Slice index 63, 240x240, Axial view
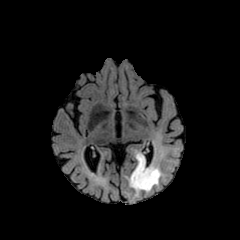
FLAIR MR image.
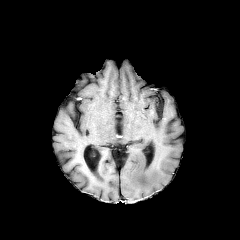
Same slice, T1-weighted MR.
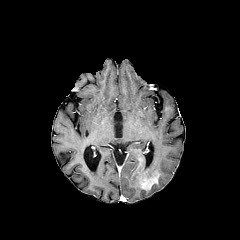
Post-contrast T1-weighted MR.
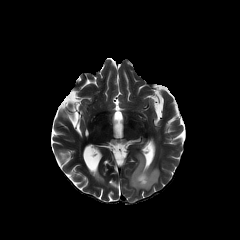
Same slice, T2-weighted MR image.
Findings:
* peritumoral edema: [128, 152, 162, 195]
* enhancing tumor: [136, 156, 159, 189]